FLAIR MR.
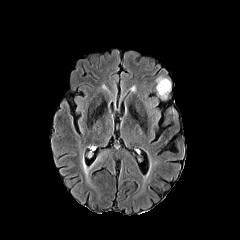
T1-weighted MR.
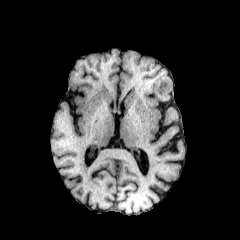
Post-contrast T1-weighted MR.
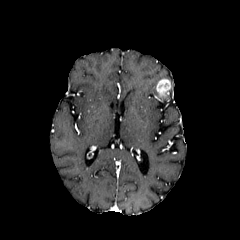
T2-weighted MRI.
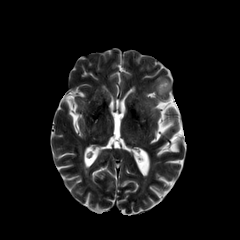
Image size 240x240, Brain, Axial slice
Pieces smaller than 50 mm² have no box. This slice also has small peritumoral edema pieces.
• enhancing tumor: (156,79,171,97)